Slice 96/155 | Axial view | Image size 240x240
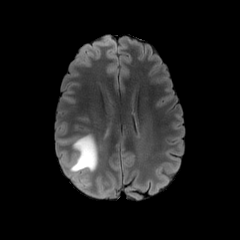
FLAIR MR image.
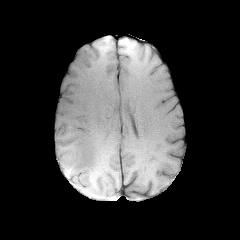
T1-weighted MR.
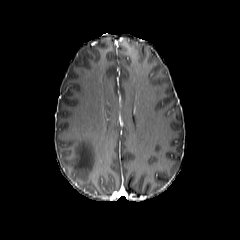
Same slice, post-contrast T1-weighted magnetic resonance.
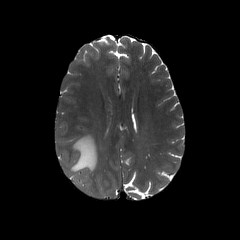
T2-weighted MR image.
{"peritumoral_edema": ["(x1=68, y1=134, x2=98, y2=173)"]}